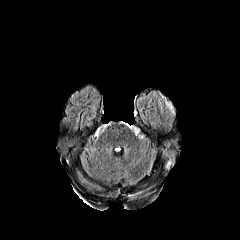
FLAIR MR.
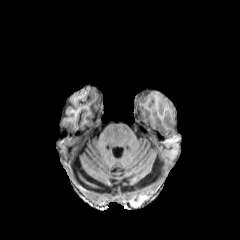
T1-weighted MR image.
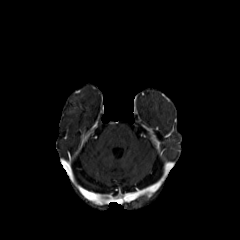
Post-contrast T1-weighted MR image of the same slice.
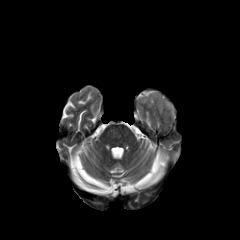
Same slice, T2-weighted MRI.
Brain, 240x240 px
The peritumoral edema is at (165, 99, 174, 115).